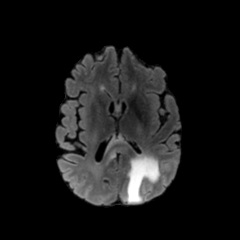
FLAIR MRI.
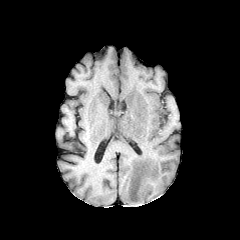
Same slice, T1-weighted magnetic resonance.
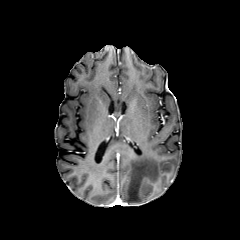
Post-contrast T1-weighted MR.
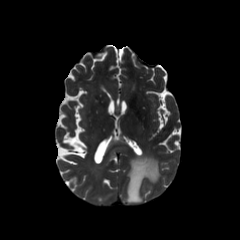
T2-weighted MR image of the same slice.
240x240.
{"peritumoral_edema": ["124, 155, 159, 203", "107, 147, 129, 164", "106, 135, 127, 150"]}